Slice 82 of 155 | Axial plane
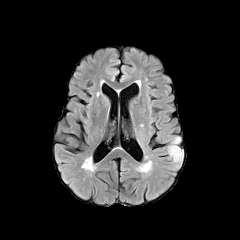
FLAIR MR image.
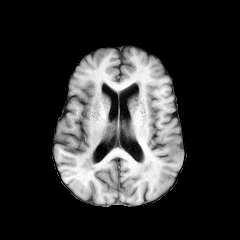
T1-weighted magnetic resonance of the same slice.
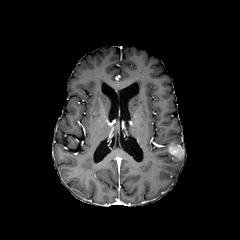
Post-contrast T1-weighted magnetic resonance of the same slice.
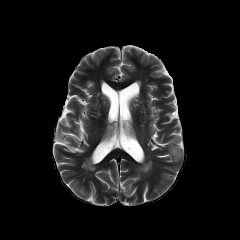
T2-weighted magnetic resonance.
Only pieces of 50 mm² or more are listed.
<segmentation>
  <enhancing_tumor>x1=168, y1=142, x2=183, y2=158</enhancing_tumor>
  <peritumoral_edema>x1=168, y1=151, x2=182, y2=162; x1=170, y1=136, x2=180, y2=144</peritumoral_edema>
</segmentation>